Brain | Axial slice | Slice 89/155
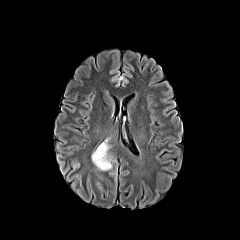
FLAIR MR image.
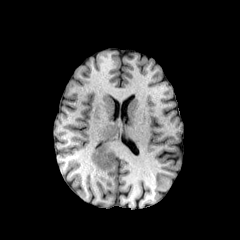
T1-weighted MR.
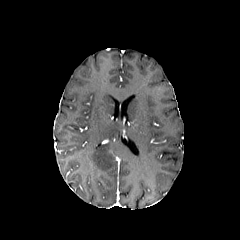
Same slice, post-contrast T1-weighted MR.
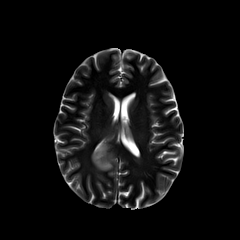
T2-weighted MR image.
peritumoral edema: bounding box [91,145,115,170]